Image width 240 mm, 1.00 mm slice spacing
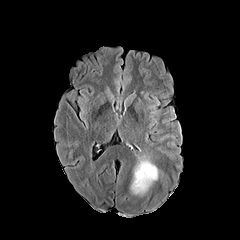
FLAIR magnetic resonance.
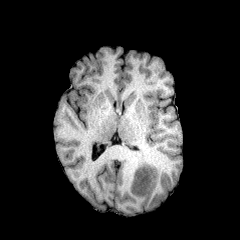
T1-weighted magnetic resonance.
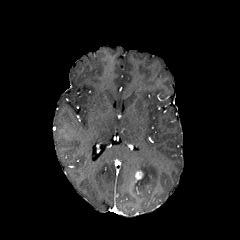
Post-contrast T1-weighted MR image.
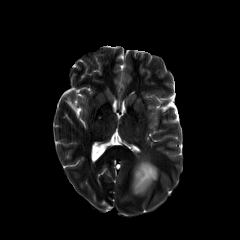
Same slice, T2-weighted MRI.
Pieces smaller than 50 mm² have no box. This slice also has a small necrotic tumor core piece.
<segmentation>
  <peritumoral_edema><box>131,159,158,194</box></peritumoral_edema>
  <enhancing_tumor><box>134,170,143,183</box></enhancing_tumor>
</segmentation>